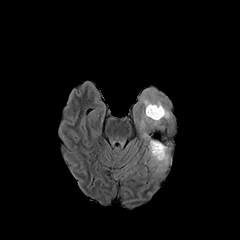
FLAIR MRI.
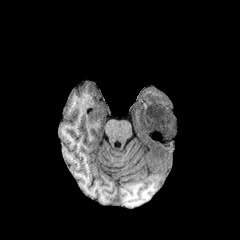
T1-weighted MR.
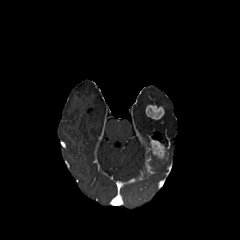
Same slice, post-contrast T1-weighted magnetic resonance.
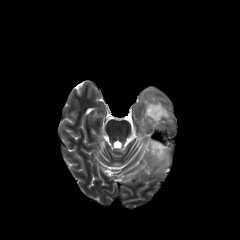
T2-weighted MRI.
240x240 px. Head. Axial plane.
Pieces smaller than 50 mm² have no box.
Findings:
• peritumoral edema: 153 149 167 170, 135 89 170 139
• enhancing tumor: 150 140 166 159, 145 104 164 119